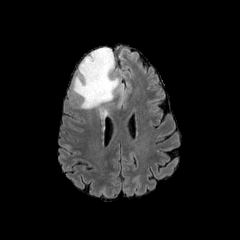
FLAIR MR.
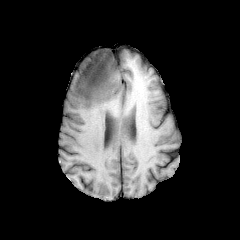
Same slice, T1-weighted MRI.
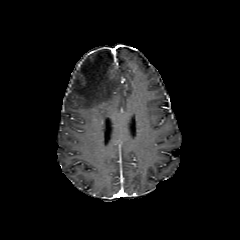
Post-contrast T1-weighted MR.
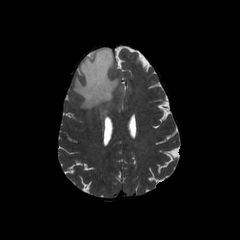
T2-weighted magnetic resonance of the same slice.
Head
peritumoral edema at (left=72, top=48, right=122, bottom=119)